Axial slice | Slice 69 of 155 | Brain
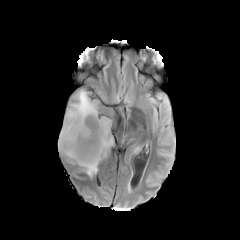
FLAIR MRI.
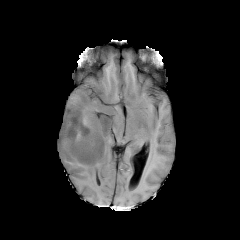
T1-weighted MR.
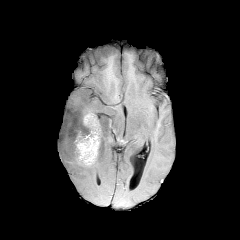
Post-contrast T1-weighted MR image.
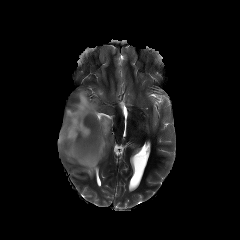
Same slice, T2-weighted MRI.
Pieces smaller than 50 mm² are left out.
The largest peritumoral edema region is at x1=58 y1=89 x2=112 y2=177. The enhancing tumor appears at x1=74 y1=114 x2=101 y2=166.